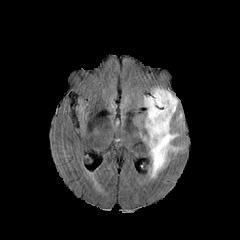
FLAIR MR image.
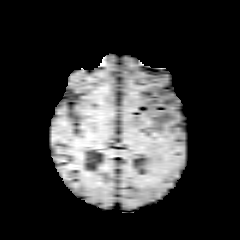
Same slice, T1-weighted MRI.
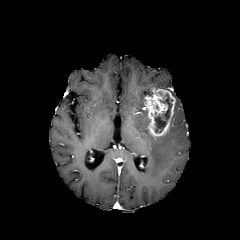
Post-contrast T1-weighted MR.
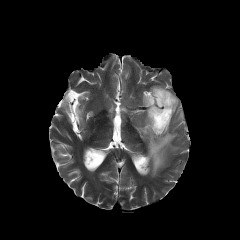
T2-weighted MR image.
Axial slice, Head
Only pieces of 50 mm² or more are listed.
necrotic_tumor_core:
  - <box>155,108,170,132</box>
enhancing_tumor:
  - <box>144,88,175,136</box>
peritumoral_edema:
  - <box>141,111,180,177</box>